FLAIR MR.
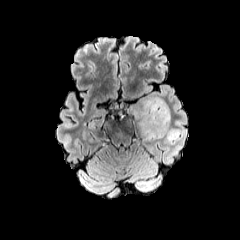
T1-weighted MR image.
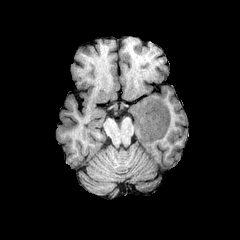
Post-contrast T1-weighted MR image.
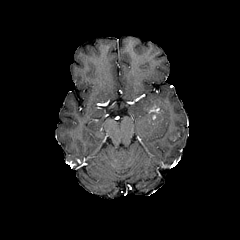
T2-weighted MR image.
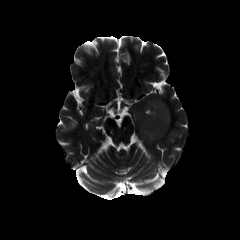
Axial slice.
<segmentation>
  <enhancing_tumor>(left=148, top=102, right=161, bottom=119)</enhancing_tumor>
  <peritumoral_edema>(left=132, top=95, right=169, bottom=140)</peritumoral_edema>
</segmentation>